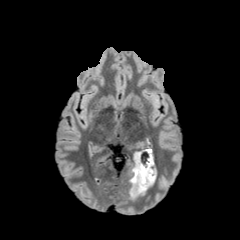
FLAIR MR.
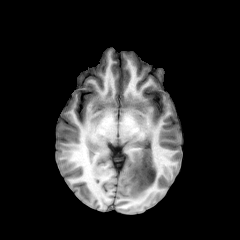
T1-weighted MRI of the same slice.
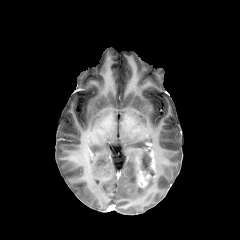
Post-contrast T1-weighted MRI.
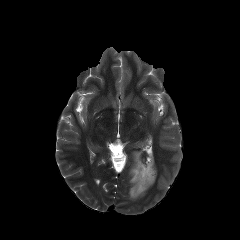
T2-weighted MR.
Brain
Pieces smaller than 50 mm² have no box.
peritumoral edema: [129, 151, 155, 198]
necrotic tumor core: [141, 152, 154, 175]
enhancing tumor: [135, 148, 156, 188]